Brain
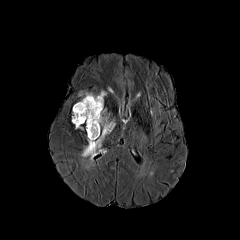
FLAIR MRI.
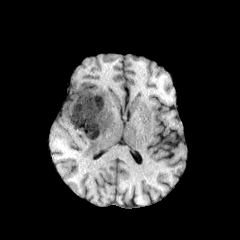
Same slice, T1-weighted MRI.
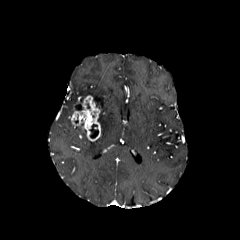
Post-contrast T1-weighted MRI.
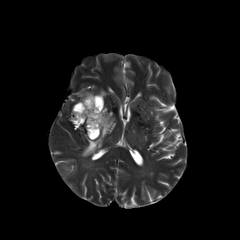
T2-weighted MRI.
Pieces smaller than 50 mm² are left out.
The largest enhancing tumor region is at <box>71,95,100,141</box>. The largest necrotic tumor core region is bounded by <box>89,124,98,138</box>. The largest peritumoral edema region is located at <box>79,90,115,159</box>.